FLAIR MR.
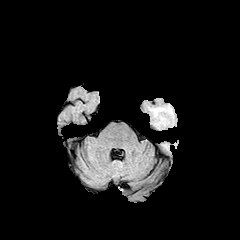
T1-weighted magnetic resonance.
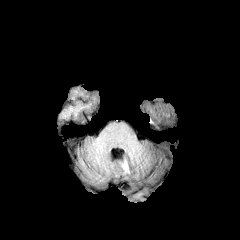
Post-contrast T1-weighted magnetic resonance.
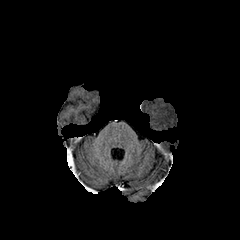
T2-weighted MR.
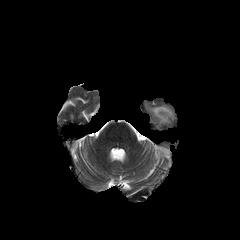
Image size 240x240. Axial view.
peritumoral_edema:
  - bbox=[148, 105, 174, 126]